FLAIR magnetic resonance.
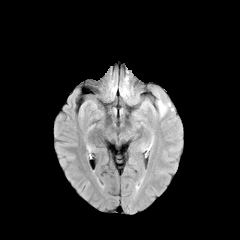
T1-weighted magnetic resonance.
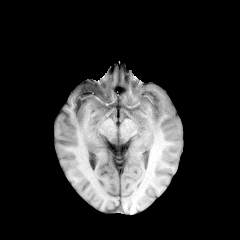
Post-contrast T1-weighted magnetic resonance.
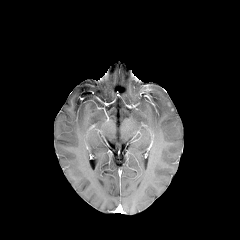
T2-weighted magnetic resonance.
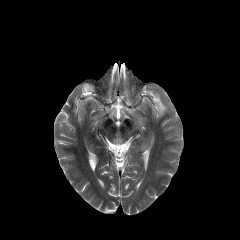
Axial view. Brain. 240x240.
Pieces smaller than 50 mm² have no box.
Findings:
* peritumoral edema: l=155, t=92, r=173, b=116